Slice 138 of 155, Axial slice, Brain
FLAIR MR image.
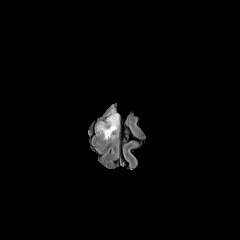
T1-weighted MR.
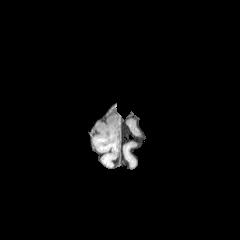
Post-contrast T1-weighted MR.
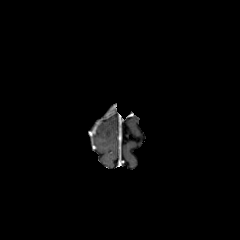
T2-weighted MR image.
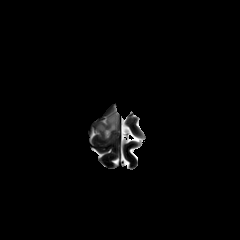
The peritumoral edema appears at 97:114:118:139.